FLAIR magnetic resonance.
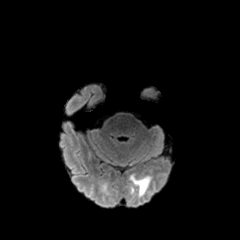
T1-weighted MRI.
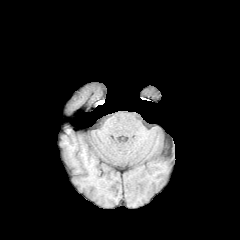
Post-contrast T1-weighted MR image.
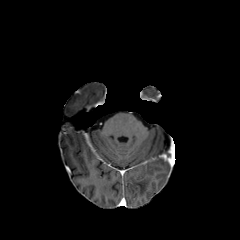
T2-weighted MR image.
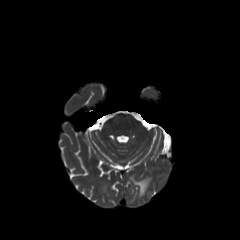
Axial plane.
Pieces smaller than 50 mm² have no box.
peritumoral edema: x1=130 y1=176 x2=150 y2=196